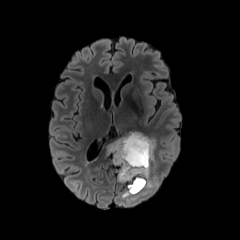
FLAIR magnetic resonance.
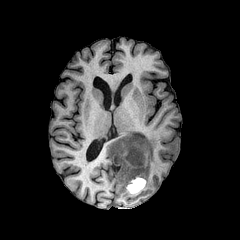
T1-weighted MR image.
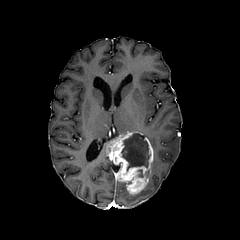
Post-contrast T1-weighted MR image.
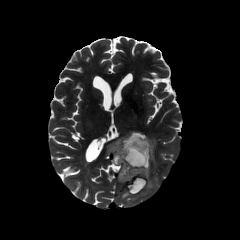
Same slice, T2-weighted MRI.
Head
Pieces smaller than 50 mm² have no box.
peritumoral edema — <bbox>148, 138, 155, 164</bbox>, <bbox>144, 178, 155, 189</bbox>
enhancing tumor — <bbox>107, 131, 153, 194</bbox>
necrotic tumor core — <bbox>121, 133, 150, 170</bbox>